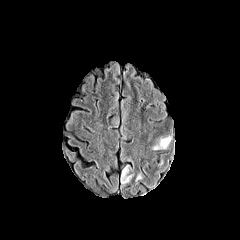
FLAIR MR.
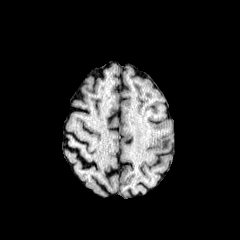
Same slice, T1-weighted MR image.
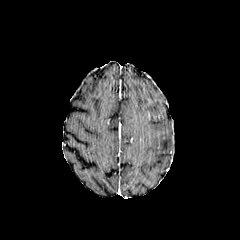
Post-contrast T1-weighted magnetic resonance.
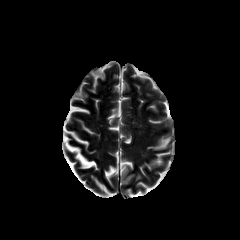
T2-weighted magnetic resonance.
Head
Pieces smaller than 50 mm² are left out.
peritumoral edema — [x1=154, y1=136, x2=171, y2=149], [x1=120, y1=163, x2=133, y2=183]